Brain
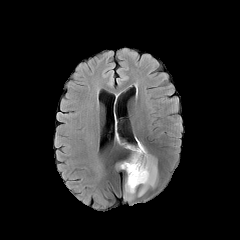
FLAIR MR.
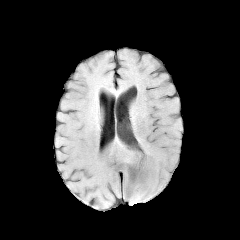
T1-weighted MRI.
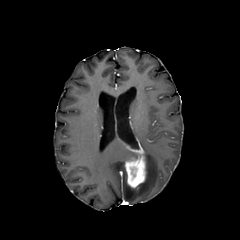
Same slice, post-contrast T1-weighted MRI.
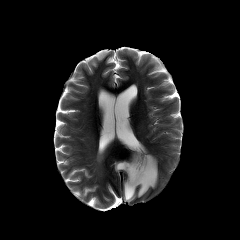
T2-weighted magnetic resonance.
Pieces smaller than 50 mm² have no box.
peritumoral edema: 116, 161, 125, 170; 124, 140, 157, 201
enhancing tumor: 125, 143, 146, 188